FLAIR magnetic resonance.
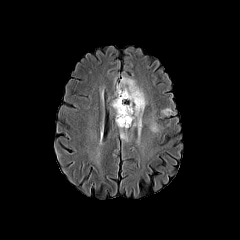
T1-weighted MRI.
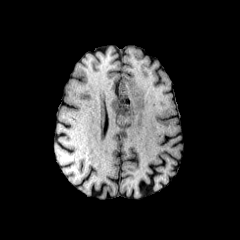
Post-contrast T1-weighted MR image.
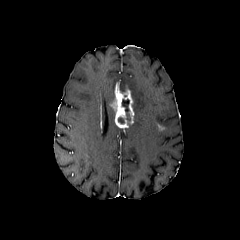
T2-weighted magnetic resonance.
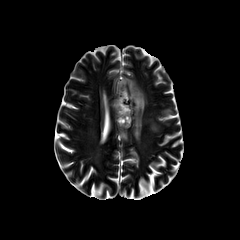
Axial slice
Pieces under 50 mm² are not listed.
necrotic tumor core — box=[122, 99, 130, 121]
enhancing tumor — box=[110, 87, 134, 128]
peritumoral edema — box=[151, 112, 160, 131]; box=[120, 128, 127, 140]; box=[119, 77, 146, 130]; box=[161, 109, 175, 115]